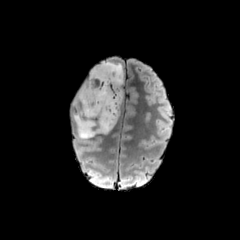
FLAIR MRI.
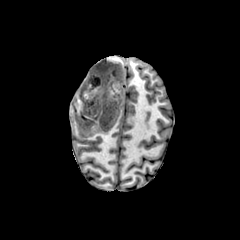
T1-weighted MRI.
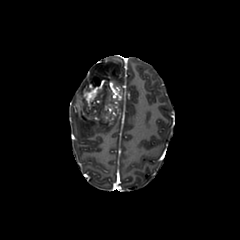
Same slice, post-contrast T1-weighted magnetic resonance.
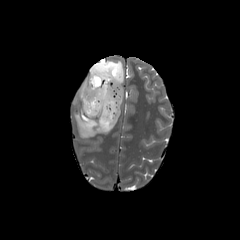
Same slice, T2-weighted MR.
Axial plane, Head
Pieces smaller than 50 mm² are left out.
Annotated regions:
• peritumoral edema: region(73, 105, 120, 138); region(74, 61, 123, 106)
• necrotic tumor core: region(90, 78, 101, 86)
• enhancing tumor: region(76, 73, 122, 123)